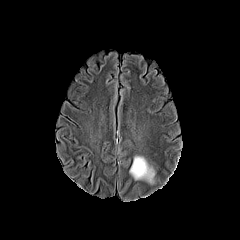
FLAIR MR.
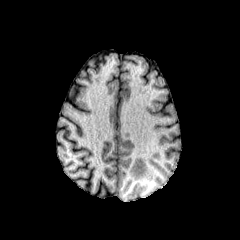
Same slice, T1-weighted magnetic resonance.
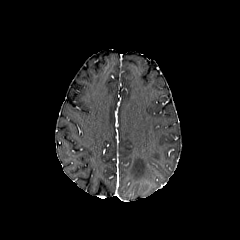
Post-contrast T1-weighted MR image.
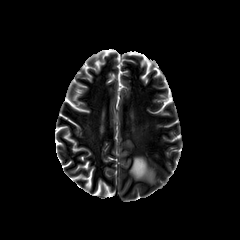
T2-weighted MRI of the same slice.
Brain; Axial slice
{
  "peritumoral_edema": [
    "bbox(129, 156, 154, 182)"
  ]
}